FLAIR magnetic resonance.
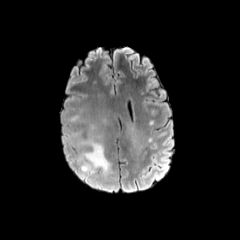
T1-weighted MR.
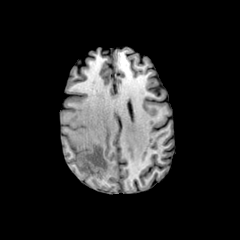
Post-contrast T1-weighted magnetic resonance.
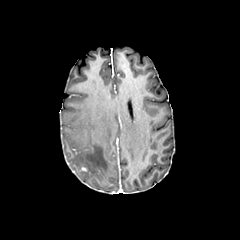
T2-weighted MRI.
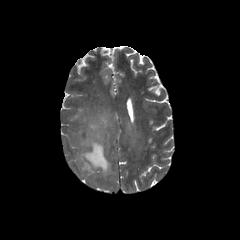
240x240
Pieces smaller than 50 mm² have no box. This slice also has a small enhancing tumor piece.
The peritumoral edema is at (71, 124, 113, 183).